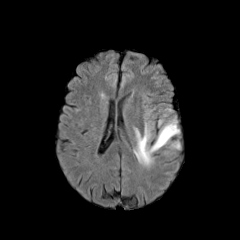
FLAIR MR image.
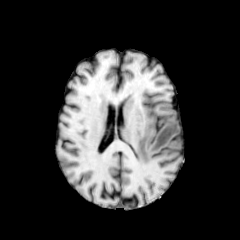
T1-weighted MR image.
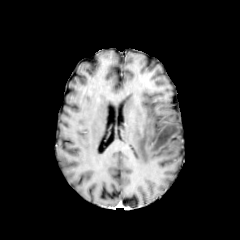
Post-contrast T1-weighted MRI of the same slice.
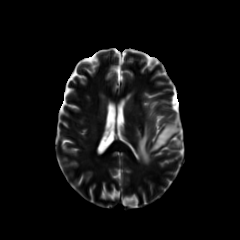
T2-weighted magnetic resonance.
240x240 px
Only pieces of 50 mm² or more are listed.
Findings:
• peritumoral edema: <box>139,125,179,162</box>